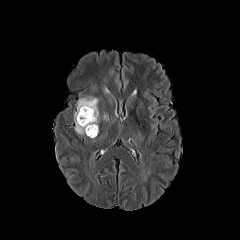
FLAIR MR image.
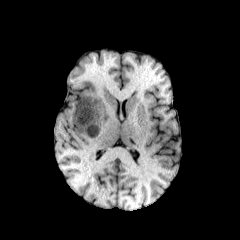
T1-weighted MR image.
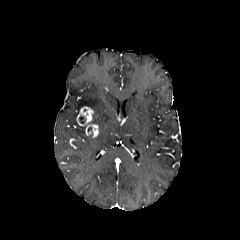
Post-contrast T1-weighted MR.
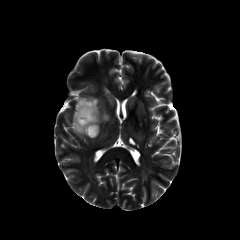
T2-weighted MRI.
Brain, 240x240
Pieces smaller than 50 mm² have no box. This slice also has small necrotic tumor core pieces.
Annotated regions:
- enhancing tumor: (76, 106, 98, 137)
- peritumoral edema: (74, 96, 99, 135)